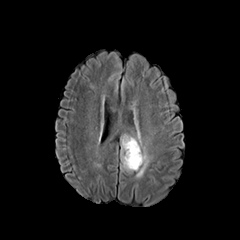
FLAIR MRI.
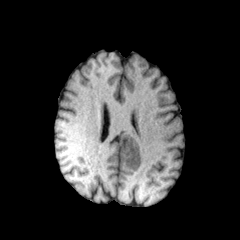
T1-weighted MR image.
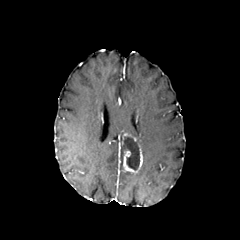
Post-contrast T1-weighted MRI.
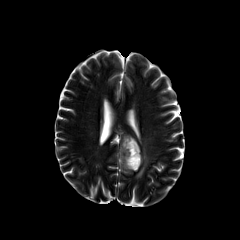
T2-weighted MRI of the same slice.
Brain.
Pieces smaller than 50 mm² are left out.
enhancing tumor: [x1=123, y1=143, x2=142, y2=173] | necrotic tumor core: [x1=122, y1=137, x2=139, y2=170] | peritumoral edema: [x1=136, y1=142, x2=149, y2=177]